FLAIR MR.
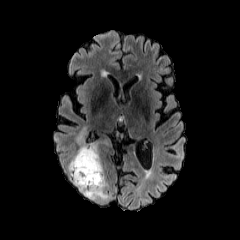
T1-weighted MR image.
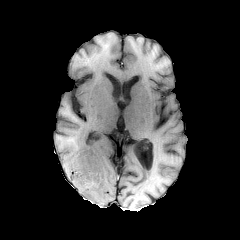
Post-contrast T1-weighted MR.
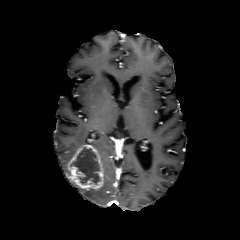
T2-weighted magnetic resonance.
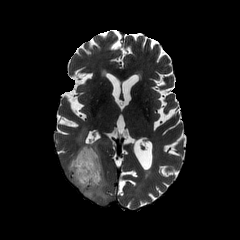
240x240
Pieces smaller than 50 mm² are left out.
enhancing tumor = rect(69, 145, 103, 189)
peritumoral edema = rect(77, 171, 109, 201); rect(77, 129, 84, 142)
necrotic tumor core = rect(73, 148, 99, 184)